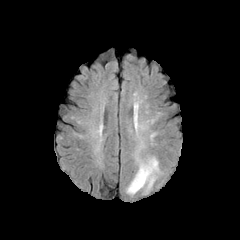
FLAIR MRI.
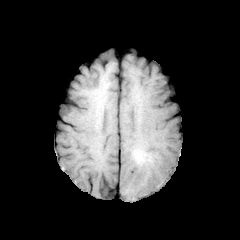
T1-weighted MR image.
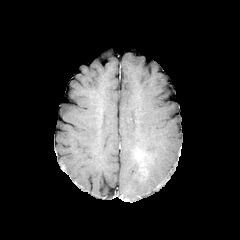
Post-contrast T1-weighted MRI of the same slice.
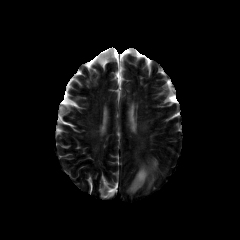
T2-weighted MR.
peritumoral edema: x1=127 y1=157 x2=159 y2=194